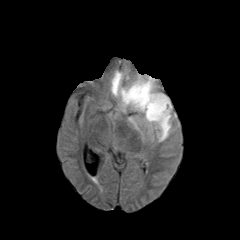
FLAIR MR image.
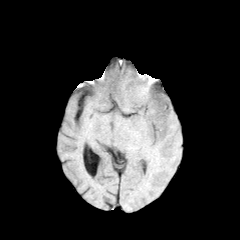
Same slice, T1-weighted MRI.
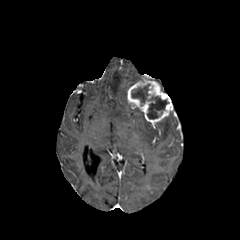
Same slice, post-contrast T1-weighted MR image.
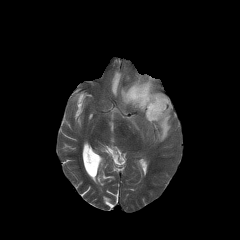
T2-weighted MR image.
Axial plane | 240x240 px
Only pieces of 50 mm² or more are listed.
<segmentation>
  <necrotic_tumor_core>(left=131, top=84, right=149, bottom=102), (left=147, top=96, right=167, bottom=119)</necrotic_tumor_core>
  <enhancing_tumor>(left=127, top=75, right=173, bottom=125)</enhancing_tumor>
  <peritumoral_edema>(left=111, top=71, right=131, bottom=111), (left=155, top=113, right=171, bottom=141)</peritumoral_edema>
</segmentation>